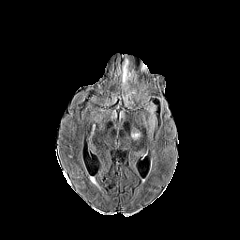
FLAIR magnetic resonance.
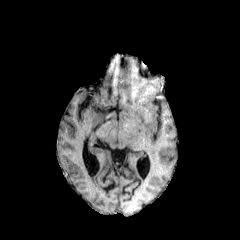
Same slice, T1-weighted MR.
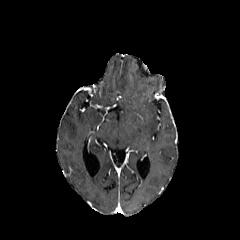
Same slice, post-contrast T1-weighted MR.
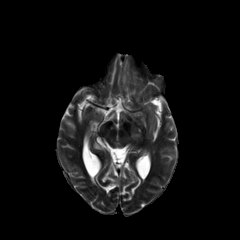
T2-weighted MR image.
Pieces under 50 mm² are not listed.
peritumoral edema = (122,60,128,86)